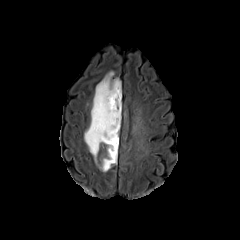
FLAIR MR.
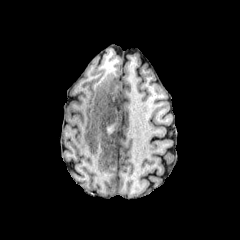
Same slice, T1-weighted MR.
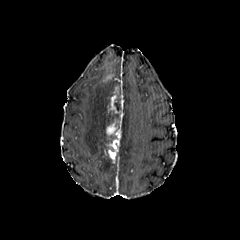
Post-contrast T1-weighted MR.
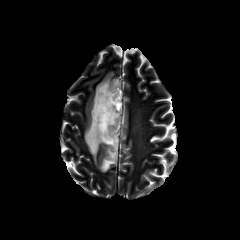
T2-weighted MRI.
Head; Axial slice
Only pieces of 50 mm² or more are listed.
The 2 largest peritumoral edema regions appear at x1=84, y1=79, x2=121, y2=163; x1=100, y1=157, x2=116, y2=171. The 2 largest necrotic tumor core regions are located at x1=114, y1=98, x2=120, y2=110; x1=106, y1=108, x2=118, y2=134. The 2 largest enhancing tumor regions are located at x1=104, y1=74, x2=114, y2=81; x1=106, y1=84, x2=122, y2=162.